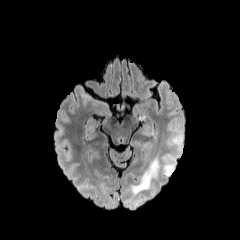
FLAIR MR.
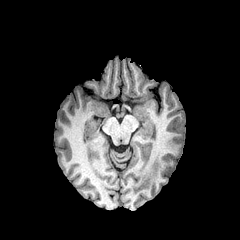
T1-weighted MR image.
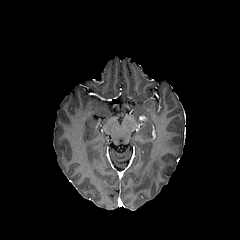
Post-contrast T1-weighted MR image of the same slice.
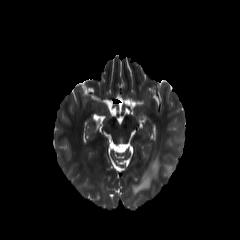
T2-weighted MRI of the same slice.
Axial plane
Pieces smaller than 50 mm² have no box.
The largest peritumoral edema region is located at [130,133,183,196].